Slice index 69.
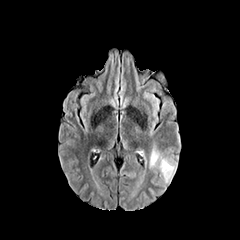
FLAIR MR.
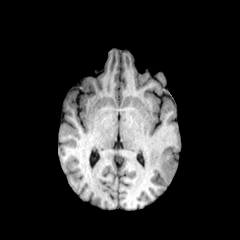
T1-weighted MR image.
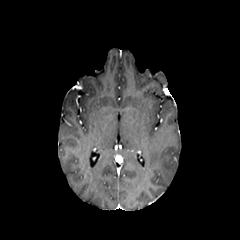
Post-contrast T1-weighted MRI.
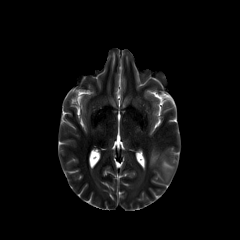
Same slice, T2-weighted magnetic resonance.
The peritumoral edema is bounded by rect(149, 146, 176, 182).